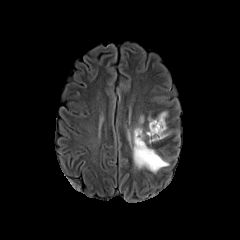
FLAIR MR image.
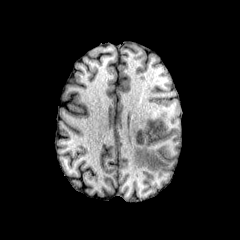
T1-weighted MRI.
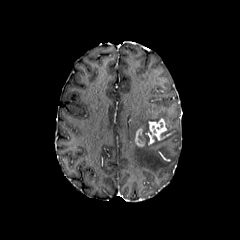
Post-contrast T1-weighted MR of the same slice.
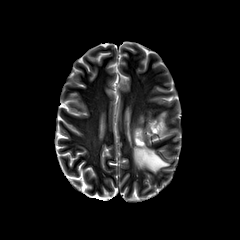
Same slice, T2-weighted MR.
Axial plane; Brain
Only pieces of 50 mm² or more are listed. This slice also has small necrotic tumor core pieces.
- enhancing tumor: bbox=[145, 118, 166, 139]; bbox=[134, 128, 144, 147]
- peritumoral edema: bbox=[132, 127, 169, 172]; bbox=[150, 112, 166, 121]